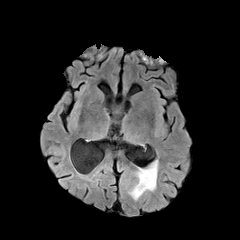
FLAIR MRI.
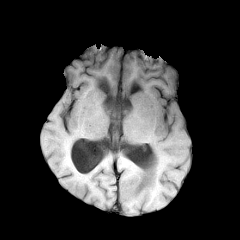
T1-weighted MRI.
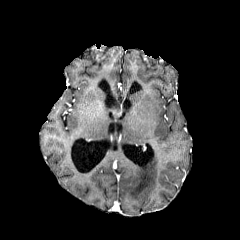
Post-contrast T1-weighted magnetic resonance.
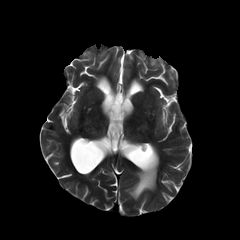
Same slice, T2-weighted MRI.
240x240 px, Head
<segmentation>
  <peritumoral_edema>(128, 160, 158, 200)</peritumoral_edema>
</segmentation>